FLAIR MR.
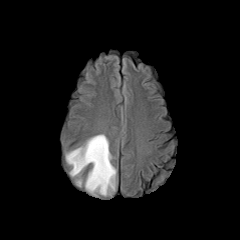
T1-weighted magnetic resonance.
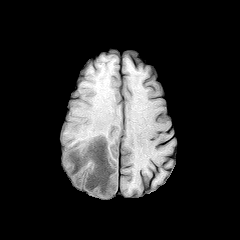
Post-contrast T1-weighted magnetic resonance.
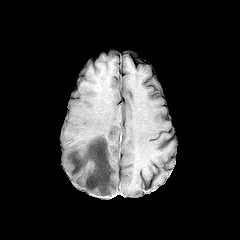
T2-weighted MRI.
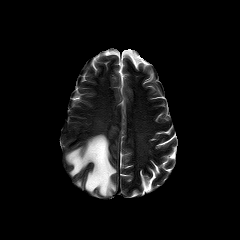
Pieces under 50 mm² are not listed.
The largest peritumoral edema region is located at (left=65, top=134, right=116, bottom=195).